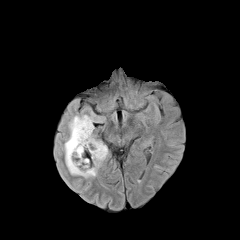
FLAIR magnetic resonance.
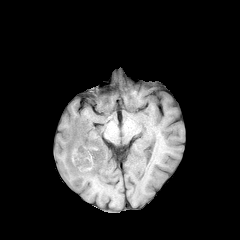
T1-weighted magnetic resonance.
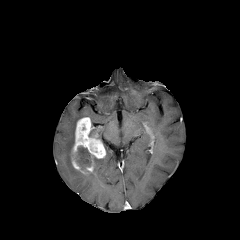
Same slice, post-contrast T1-weighted MR.
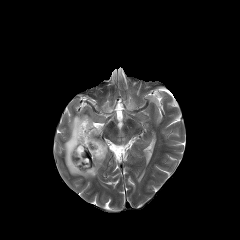
T2-weighted magnetic resonance.
Head. Axial view.
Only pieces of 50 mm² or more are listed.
Findings:
• enhancing tumor: [71,117,105,174]
• necrotic tumor core: [74,146,91,169]
• peritumoral edema: [64,112,108,178]